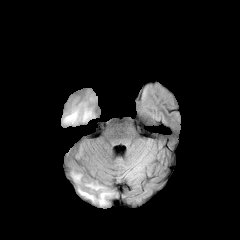
FLAIR MRI.
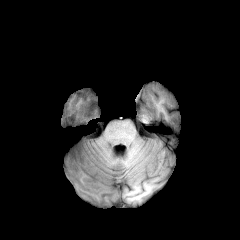
Same slice, T1-weighted MRI.
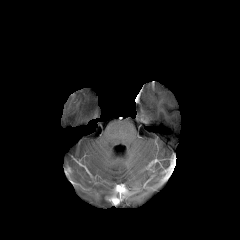
Same slice, post-contrast T1-weighted MR image.
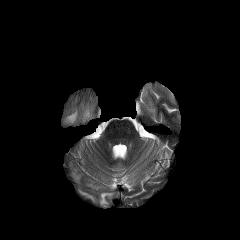
T2-weighted MR image of the same slice.
240x240
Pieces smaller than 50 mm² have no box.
The 3 largest peritumoral edema regions are located at <bbox>99, 192, 111, 205</bbox>, <bbox>64, 104, 92, 124</bbox>, <bbox>79, 190, 94, 200</bbox>.